240x240 px; Slice 100 of 155; Brain
FLAIR MR.
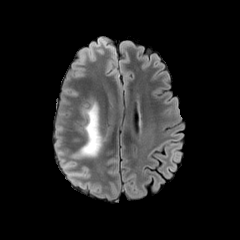
T1-weighted MR image.
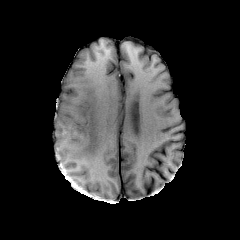
Post-contrast T1-weighted magnetic resonance.
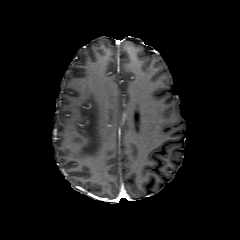
T2-weighted MRI.
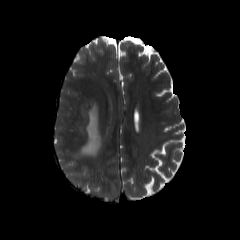
peritumoral edema: [71, 102, 102, 157]